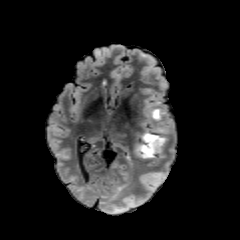
FLAIR MR image.
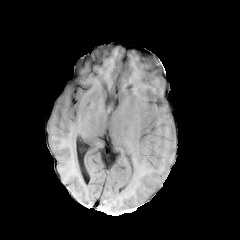
T1-weighted MR image of the same slice.
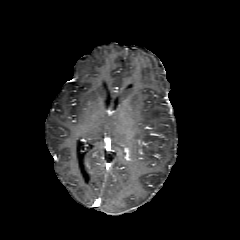
Post-contrast T1-weighted MR of the same slice.
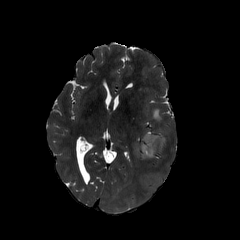
T2-weighted MR image.
240x240 px; Head; Axial slice
peritumoral edema = (left=150, top=108, right=161, bottom=120), (left=136, top=130, right=166, bottom=158)